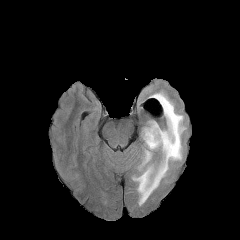
FLAIR MR image.
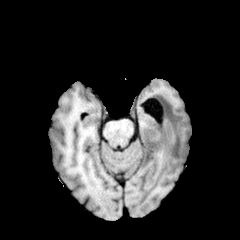
T1-weighted MR.
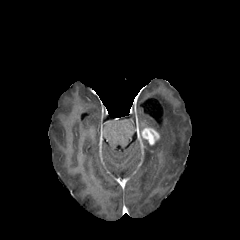
Same slice, post-contrast T1-weighted MRI.
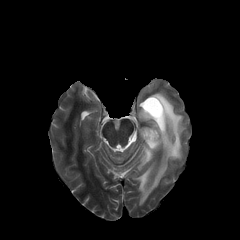
T2-weighted MRI.
Axial slice
<segmentation>
  <peritumoral_edema>x1=133 y1=92 x2=186 y2=205</peritumoral_edema>
  <enhancing_tumor>x1=141 y1=128 x2=159 y2=145</enhancing_tumor>
</segmentation>